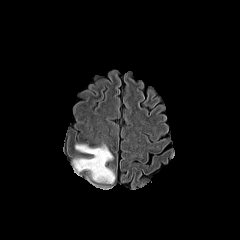
FLAIR MRI.
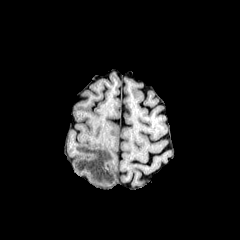
T1-weighted MR of the same slice.
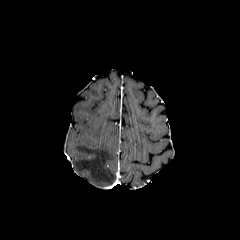
Post-contrast T1-weighted MR.
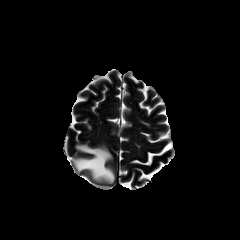
T2-weighted MR image.
Axial slice | Brain | 240x240 px
{"peritumoral_edema": ["73:144:115:183"]}